FLAIR MRI.
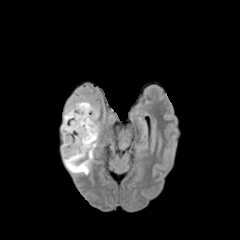
T1-weighted magnetic resonance.
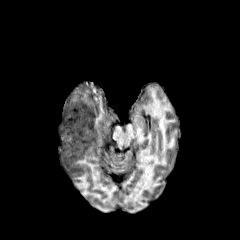
Post-contrast T1-weighted magnetic resonance.
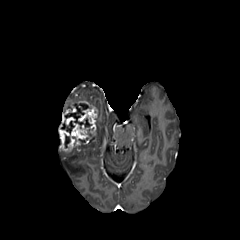
T2-weighted MR.
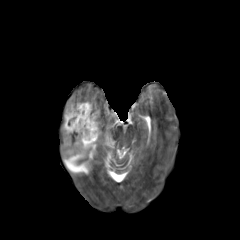
Head
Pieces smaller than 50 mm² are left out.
enhancing tumor — box(59, 99, 98, 152)
necrotic tumor core — box(61, 121, 74, 133); box(64, 135, 70, 147); box(65, 103, 88, 125)
peritumoral edema — box(62, 142, 96, 174)